Slice 79 of 155. 240x240.
FLAIR MRI.
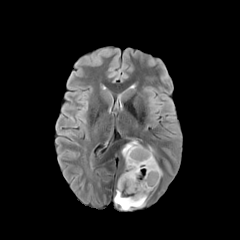
T1-weighted MRI.
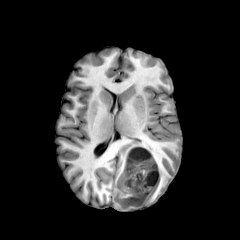
Post-contrast T1-weighted MR image.
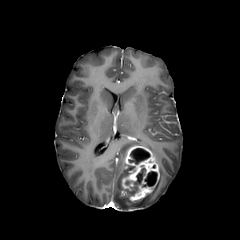
T2-weighted MR.
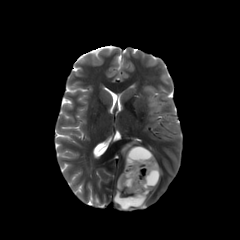
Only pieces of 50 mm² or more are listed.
{
  "necrotic_tumor_core": [
    "128 148 150 164",
    "127 168 145 194",
    "142 171 157 186"
  ],
  "enhancing_tumor": [
    "122 145 159 201"
  ],
  "peritumoral_edema": [
    "114 172 147 209",
    "122 141 138 157"
  ]
}